Head, Axial slice
FLAIR magnetic resonance.
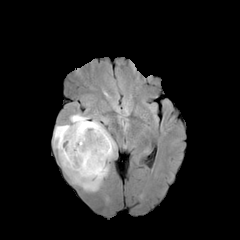
T1-weighted magnetic resonance.
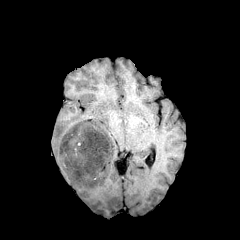
Post-contrast T1-weighted MR.
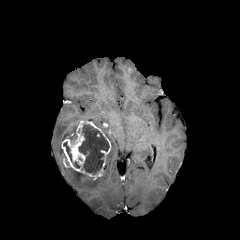
T2-weighted MR image.
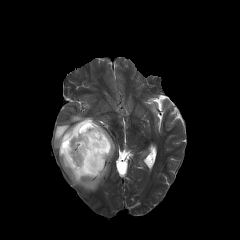
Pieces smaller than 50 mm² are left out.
The 2 largest necrotic tumor core regions appear at (left=63, top=142, right=71, bottom=160), (left=79, top=124, right=109, bottom=174). The largest peritumoral edema region lies within (left=53, top=114, right=116, bottom=191). The largest enhancing tumor region is located at (left=61, top=120, right=111, bottom=179).